Axial slice.
FLAIR MRI.
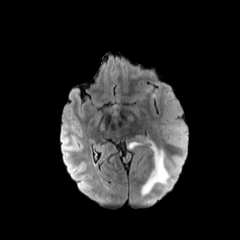
T1-weighted magnetic resonance.
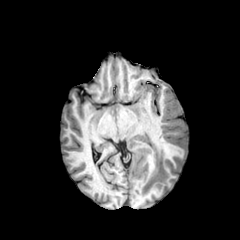
Post-contrast T1-weighted MRI.
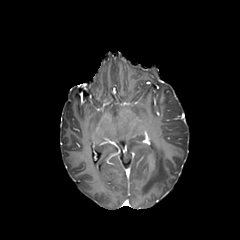
T2-weighted MR image.
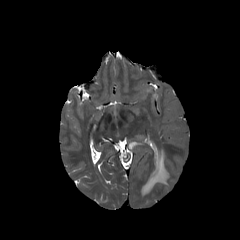
<segmentation>
  <peritumoral_edema>(x1=128, y1=141, x2=145, y2=148), (x1=141, y1=142, x2=169, y2=195)</peritumoral_edema>
</segmentation>